FLAIR MR.
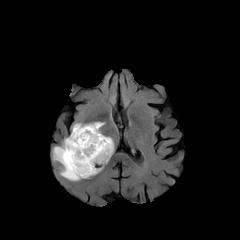
T1-weighted MR.
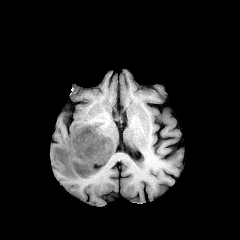
Post-contrast T1-weighted magnetic resonance.
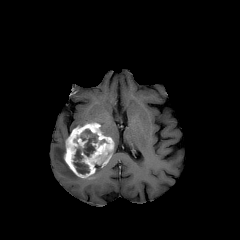
T2-weighted MR.
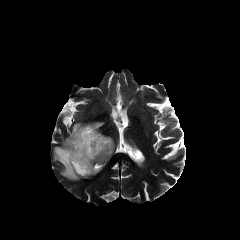
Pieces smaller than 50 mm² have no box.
peritumoral edema at x1=53, y1=138, x2=81, y2=181; x1=72, y1=122, x2=86, y2=129
necrotic tumor core at x1=73, y1=148, x2=89, y2=174; x1=74, y1=129, x2=104, y2=156
enhancing tumor at x1=64, y1=122, x2=114, y2=178